Brain.
FLAIR magnetic resonance.
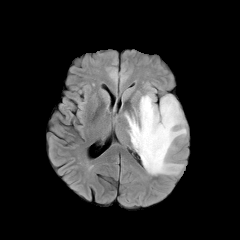
T1-weighted MR.
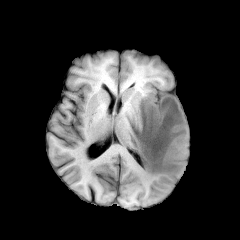
Post-contrast T1-weighted MRI.
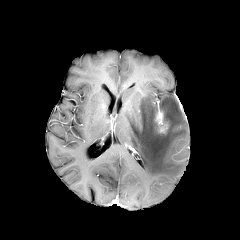
T2-weighted MR.
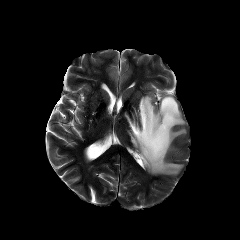
enhancing tumor: bounding box box=[156, 111, 167, 132]
peritumoral edema: bounding box box=[125, 93, 186, 175]